Head | Slice 60 of 155
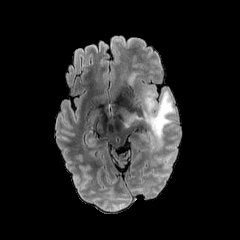
FLAIR MR image.
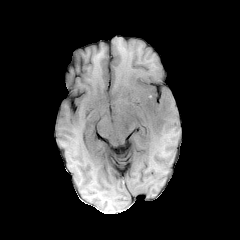
T1-weighted magnetic resonance.
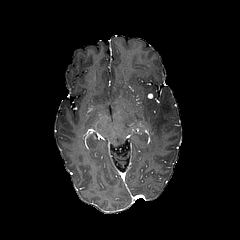
Post-contrast T1-weighted magnetic resonance.
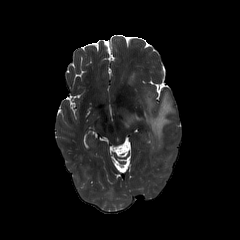
T2-weighted MR image of the same slice.
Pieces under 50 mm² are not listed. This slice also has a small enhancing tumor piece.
{
  "peritumoral_edema": [
    "(129, 73, 135, 83)",
    "(144, 90, 175, 146)",
    "(120, 108, 142, 127)"
  ]
}